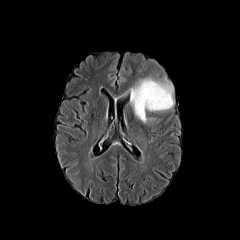
FLAIR MR image.
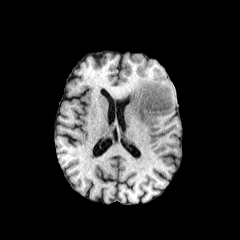
T1-weighted MR image.
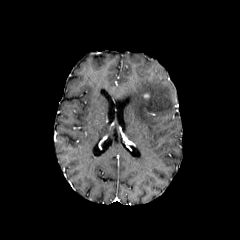
Post-contrast T1-weighted MR image.
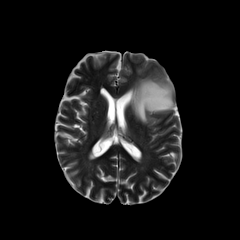
T2-weighted MRI.
Head, Axial slice
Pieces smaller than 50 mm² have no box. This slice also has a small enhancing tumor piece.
peritumoral edema at <box>132,78,174,123</box>